FLAIR magnetic resonance.
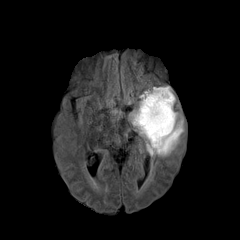
T1-weighted magnetic resonance.
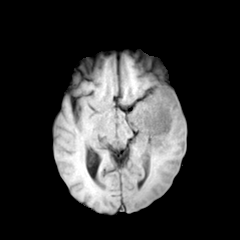
Post-contrast T1-weighted magnetic resonance.
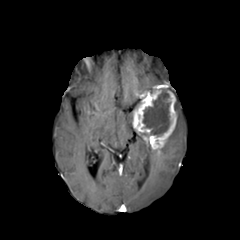
T2-weighted MR.
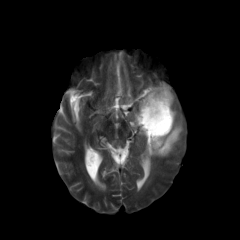
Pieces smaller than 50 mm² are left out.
peritumoral edema: <box>146,112,184,156</box> | necrotic tumor core: <box>142,88,171,136</box> | enhancing tumor: <box>132,85,176,152</box>